FLAIR MR.
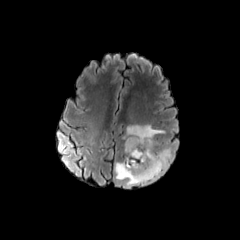
T1-weighted magnetic resonance.
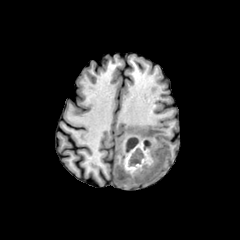
Post-contrast T1-weighted MR image.
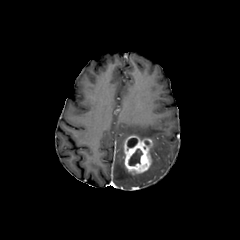
T2-weighted MRI.
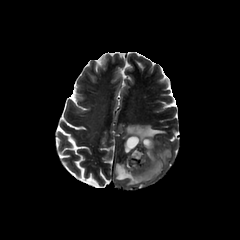
240x240, Brain
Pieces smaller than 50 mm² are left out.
The 2 largest necrotic tumor core regions are bounded by l=128, t=149, r=142, b=165; l=127, t=138, r=137, b=147. The largest peritumoral edema region appears at l=114, t=124, r=171, b=187. The enhancing tumor lies within l=123, t=135, r=152, b=173.